FLAIR MRI.
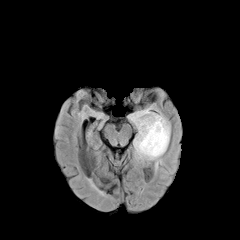
T1-weighted magnetic resonance.
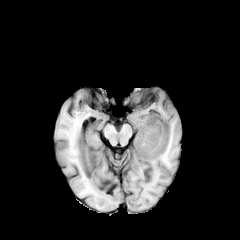
Post-contrast T1-weighted MR.
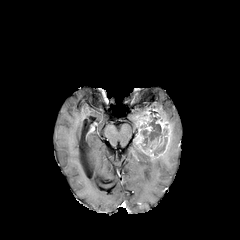
T2-weighted MR.
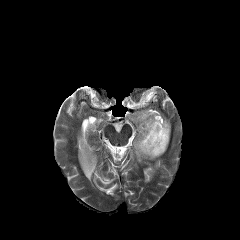
Brain
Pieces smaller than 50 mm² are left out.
<segmentation>
  <peritumoral_edema>(x1=128, y1=106, x2=167, y2=132), (x1=132, y1=140, x2=157, y2=160)</peritumoral_edema>
  <enhancing_tumor>(x1=134, y1=109, x2=170, y2=158)</enhancing_tumor>
  <necrotic_tumor_core>(x1=153, y1=138, x2=167, y2=156), (x1=141, y1=116, x2=167, y2=149)</necrotic_tumor_core>
</segmentation>